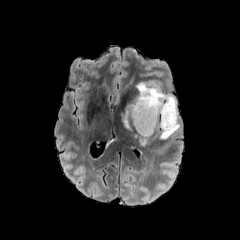
FLAIR MRI.
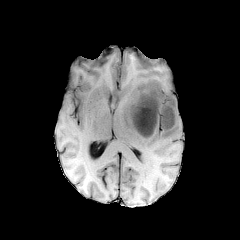
T1-weighted magnetic resonance.
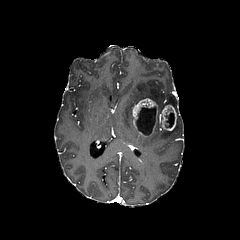
Post-contrast T1-weighted MR.
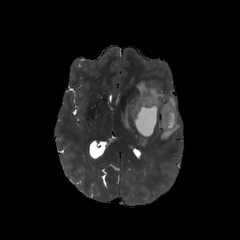
T2-weighted magnetic resonance.
240x240, Axial plane
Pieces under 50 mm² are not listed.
peritumoral edema = region(134, 135, 150, 146); region(121, 82, 180, 138)
enhancing tumor = region(132, 98, 176, 136)
necrotic tumor core = region(165, 112, 174, 127); region(136, 105, 156, 135)